Slice 69/155
FLAIR MR image.
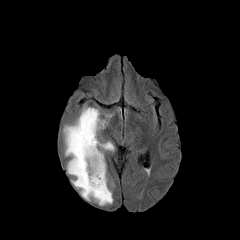
T1-weighted MR.
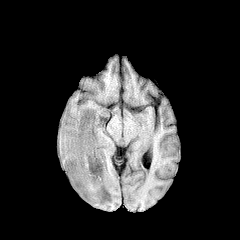
Post-contrast T1-weighted MRI.
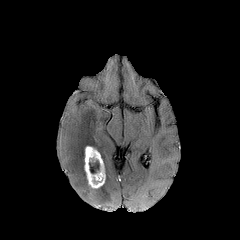
T2-weighted MRI.
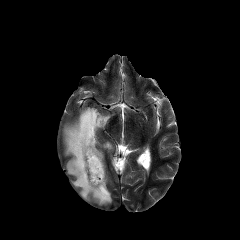
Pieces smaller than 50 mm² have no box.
{"necrotic_tumor_core": ["bbox=[89, 160, 99, 173]"], "peritumoral_edema": ["bbox=[63, 106, 114, 205]"], "enhancing_tumor": ["bbox=[84, 146, 105, 188]"]}